240x240 px; Axial slice; Head; Slice index 133
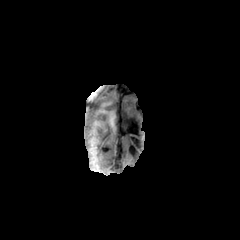
FLAIR MR.
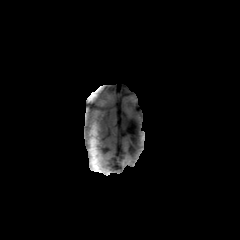
T1-weighted MRI.
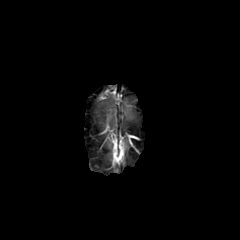
Post-contrast T1-weighted MRI.
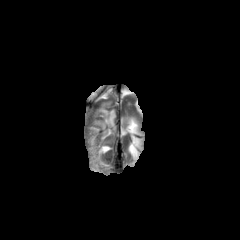
Same slice, T2-weighted MR.
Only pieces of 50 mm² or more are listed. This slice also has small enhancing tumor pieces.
{"peritumoral_edema": ["left=93, top=100, right=115, bottom=133", "left=92, top=87, right=103, bottom=99"]}